Image width 240 mm, 1.00 mm slice spacing. 240x240.
FLAIR MRI.
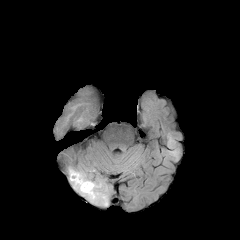
T1-weighted MR.
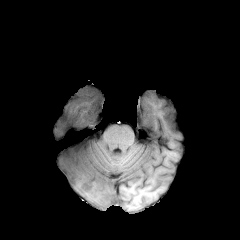
Post-contrast T1-weighted MR.
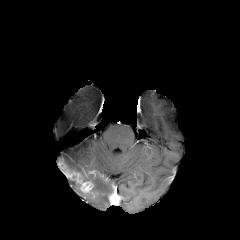
T2-weighted MRI.
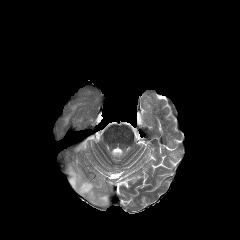
2 peritumoral edema regions appear at (69,179,108,206), (66,166,91,181). The enhancing tumor is at (65,169,93,193).